Slice index 119; Image width 240 mm, 1.00 mm slice spacing; Brain; Axial view
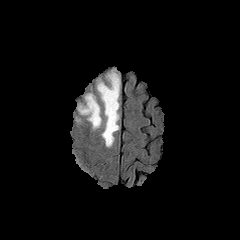
FLAIR magnetic resonance.
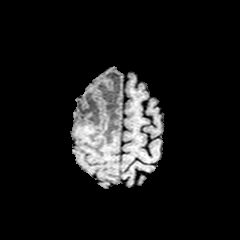
T1-weighted MRI.
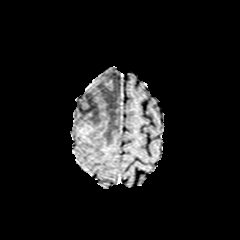
Post-contrast T1-weighted magnetic resonance.
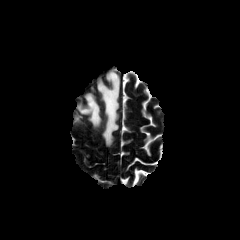
Same slice, T2-weighted MR image.
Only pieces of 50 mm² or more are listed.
The 2 largest peritumoral edema regions are bounded by left=78, top=93, right=101, bottom=128; left=97, top=70, right=120, bottom=146.